Image size 240x240; Axial plane; Image covers 240 mm x 240 mm; Slice 36/155
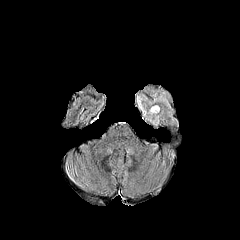
FLAIR MR image.
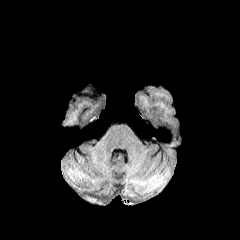
T1-weighted MR image of the same slice.
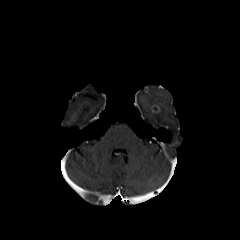
Post-contrast T1-weighted MR.
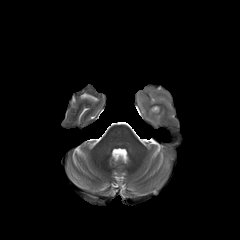
T2-weighted MRI.
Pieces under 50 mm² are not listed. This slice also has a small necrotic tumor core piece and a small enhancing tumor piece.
peritumoral edema at 137, 96, 160, 126